Head | Image width 240 mm | Slice index 89 | Axial plane
FLAIR magnetic resonance.
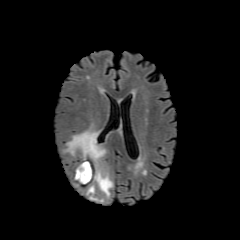
T1-weighted MR image.
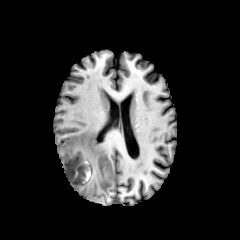
Post-contrast T1-weighted MR image.
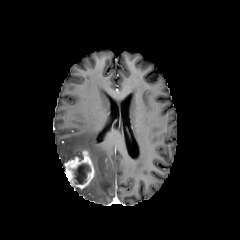
T2-weighted magnetic resonance.
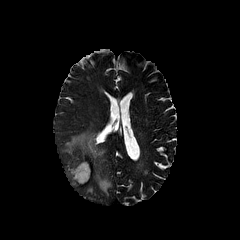
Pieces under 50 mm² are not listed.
necrotic tumor core: region(74, 163, 90, 184) | peritumoral edema: region(87, 184, 94, 194); region(63, 125, 113, 197) | enhancing tumor: region(65, 150, 94, 188)